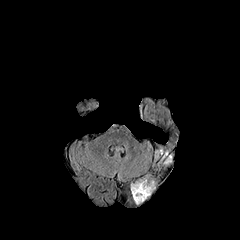
FLAIR MR.
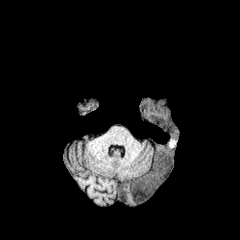
T1-weighted MRI of the same slice.
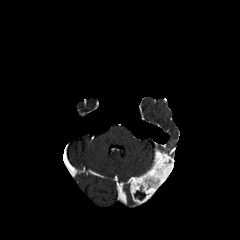
Post-contrast T1-weighted MR.
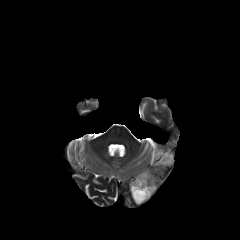
T2-weighted magnetic resonance of the same slice.
Axial plane, Image size 240x240
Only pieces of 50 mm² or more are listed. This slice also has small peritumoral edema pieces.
necrotic tumor core: (134,186,145,200)
enhancing tumor: (130,150,174,204)